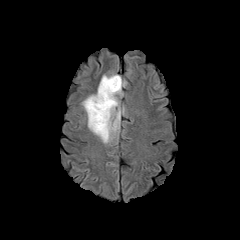
FLAIR MRI.
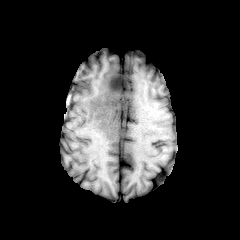
T1-weighted MR image of the same slice.
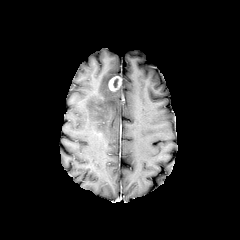
Post-contrast T1-weighted MRI.
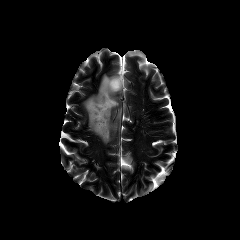
T2-weighted MR image.
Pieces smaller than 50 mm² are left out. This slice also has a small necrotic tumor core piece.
Annotated regions:
* enhancing tumor: box=[108, 76, 122, 91]
* peritumoral edema: box=[82, 74, 126, 143]